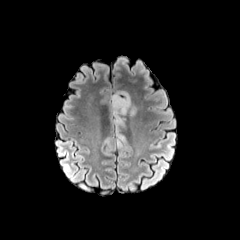
FLAIR MR.
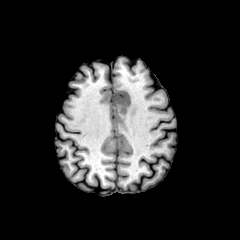
T1-weighted MR.
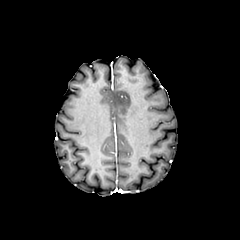
Same slice, post-contrast T1-weighted MRI.
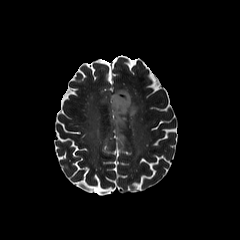
T2-weighted MR of the same slice.
Head | Axial slice
<segmentation>
  <peritumoral_edema>(110,90,136,123)</peritumoral_edema>
</segmentation>